FLAIR magnetic resonance.
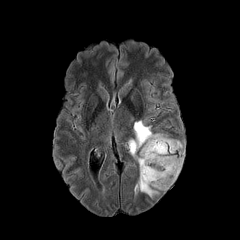
T1-weighted MRI.
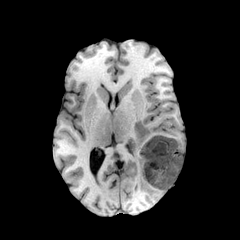
Post-contrast T1-weighted magnetic resonance.
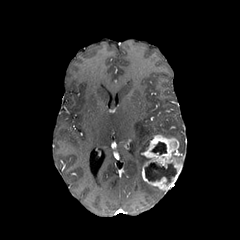
T2-weighted MRI.
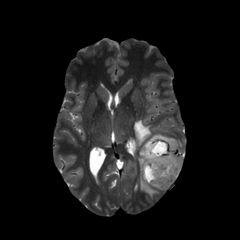
Axial slice.
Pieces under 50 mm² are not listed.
peritumoral_edema:
  - 130,120,160,197
enhancing_tumor:
  - 142,134,184,191
necrotic_tumor_core:
  - 151,142,166,154
  - 145,163,176,182